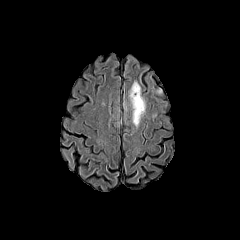
FLAIR magnetic resonance.
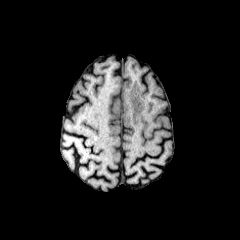
T1-weighted MRI.
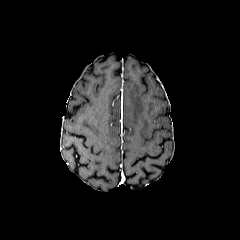
Post-contrast T1-weighted MR.
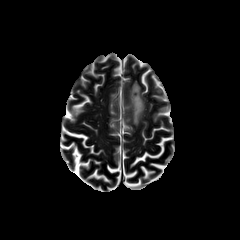
Same slice, T2-weighted MR.
Axial plane, 240x240, Brain
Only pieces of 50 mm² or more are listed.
The largest peritumoral edema region appears at {"x1": 129, "y1": 81, "x2": 145, "y2": 126}.